Slice index 57. Axial slice. Head.
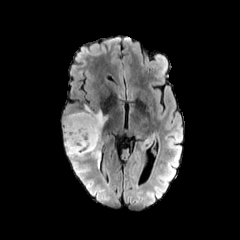
FLAIR MRI.
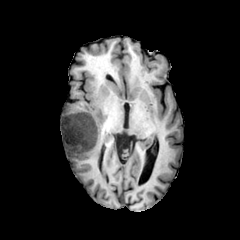
T1-weighted MR image.
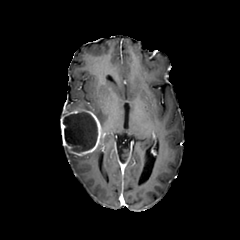
Post-contrast T1-weighted MRI.
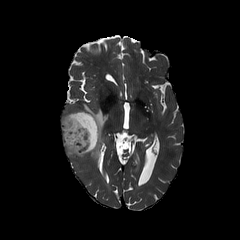
T2-weighted MR of the same slice.
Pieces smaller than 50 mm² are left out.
The 3 largest peritumoral edema regions appear at 88 139 103 167, 94 109 108 130, 65 148 85 165. The necrotic tumor core is bounded by 63 112 97 153. The enhancing tumor is located at 61 105 103 156.